FLAIR magnetic resonance.
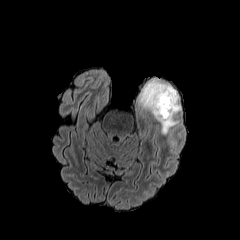
T1-weighted MR image.
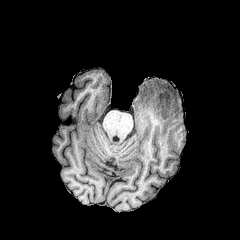
Post-contrast T1-weighted MR.
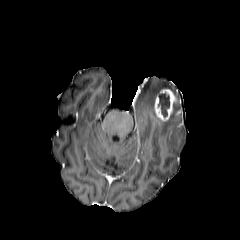
T2-weighted MR image.
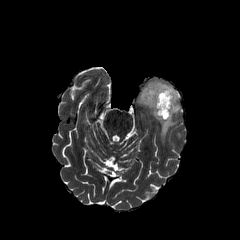
Findings:
• peritumoral edema: 139, 80, 181, 135
• enhancing tumor: 154, 88, 177, 121
• necrotic tumor core: 158, 93, 169, 116